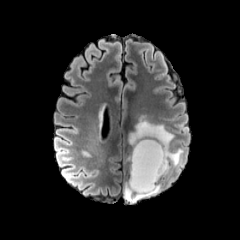
FLAIR MRI.
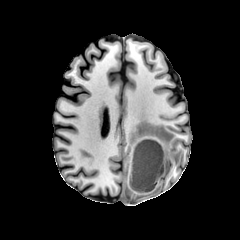
T1-weighted MR.
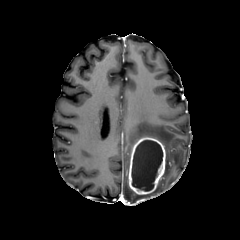
Same slice, post-contrast T1-weighted MRI.
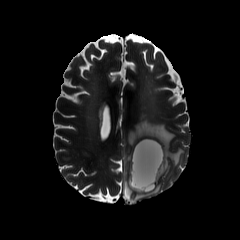
T2-weighted magnetic resonance.
240x240 px; Axial slice
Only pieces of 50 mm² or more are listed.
Findings:
* necrotic tumor core: (left=131, top=140, right=163, bottom=191)
* enhancing tumor: (left=128, top=137, right=165, bottom=195)
* peritumoral edema: (left=128, top=120, right=183, bottom=177), (left=123, top=181, right=161, bottom=203)